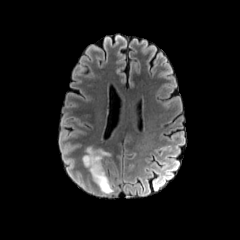
FLAIR magnetic resonance.
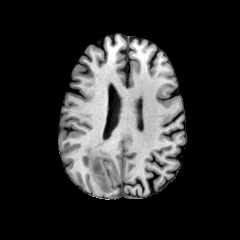
Same slice, T1-weighted MRI.
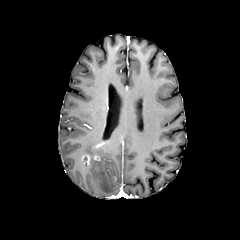
Post-contrast T1-weighted MR image.
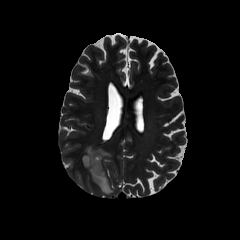
Same slice, T2-weighted magnetic resonance.
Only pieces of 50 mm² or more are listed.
The enhancing tumor lies within 82, 154, 100, 165. The 2 largest peritumoral edema regions appear at 86, 147, 109, 159; 84, 161, 113, 194.